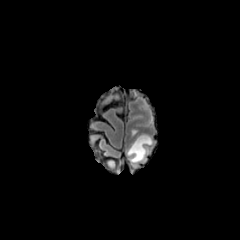
FLAIR MRI.
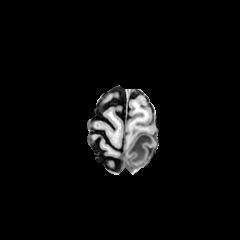
Same slice, T1-weighted MR.
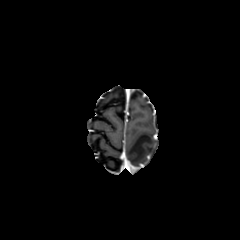
Post-contrast T1-weighted MR image.
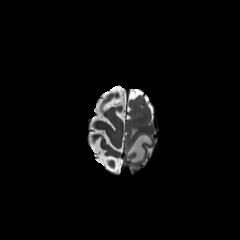
T2-weighted MR.
240x240; Brain
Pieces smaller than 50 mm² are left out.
The largest peritumoral edema region is at (127, 134, 153, 163).